Slice index 89; Brain
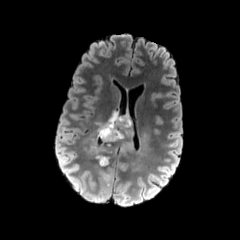
FLAIR magnetic resonance.
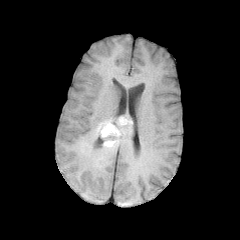
T1-weighted MR.
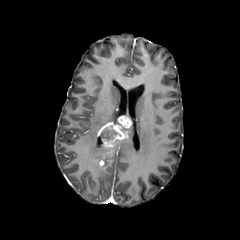
Post-contrast T1-weighted MR.
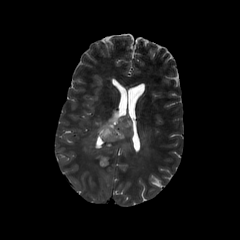
T2-weighted magnetic resonance of the same slice.
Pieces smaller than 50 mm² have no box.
Findings:
- enhancing tumor: rect(97, 114, 132, 146)
- peritumoral edema: rect(82, 111, 119, 167); rect(120, 128, 149, 170)
- necrotic tumor core: rect(99, 125, 118, 141)